Slice 70/155, Axial view, Brain
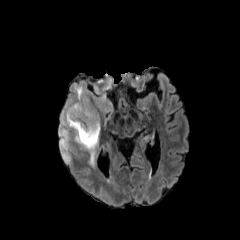
FLAIR magnetic resonance.
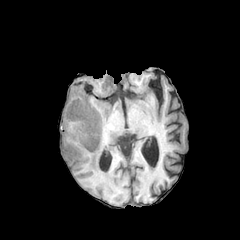
Same slice, T1-weighted MR image.
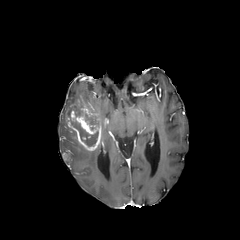
Post-contrast T1-weighted MR image.
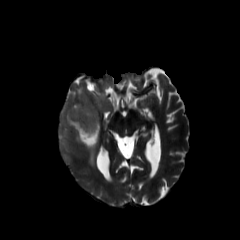
T2-weighted MR.
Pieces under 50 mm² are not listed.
necrotic_tumor_core:
  - (left=71, top=121, right=98, bottom=145)
  - (left=85, top=114, right=97, bottom=124)
peritumoral_edema:
  - (left=87, top=148, right=100, bottom=169)
  - (left=59, top=76, right=116, bottom=154)
enhancing_tumor:
  - (left=62, top=149, right=72, bottom=161)
  - (left=65, top=95, right=101, bottom=151)